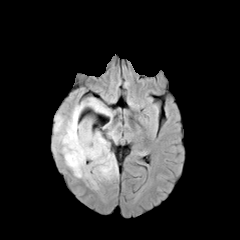
FLAIR MR image.
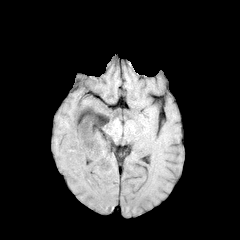
Same slice, T1-weighted MR image.
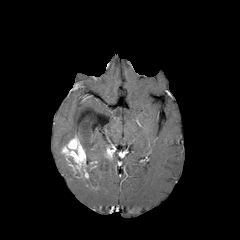
Post-contrast T1-weighted MRI.
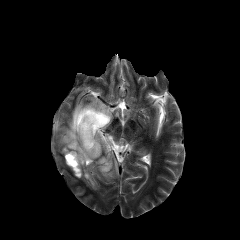
T2-weighted MR of the same slice.
Head. 240x240 px.
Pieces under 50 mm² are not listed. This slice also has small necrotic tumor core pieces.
{"enhancing_tumor": ["[104,144,114,160]", "[61,135,88,178]"], "peritumoral_edema": ["[108,130,118,143]", "[54,98,118,189]"]}